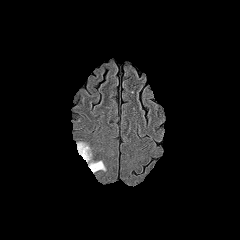
FLAIR MR image.
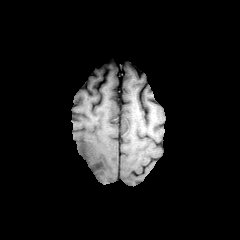
T1-weighted magnetic resonance.
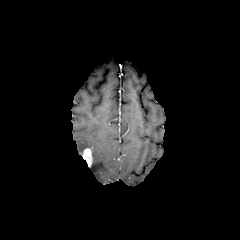
Post-contrast T1-weighted MR.
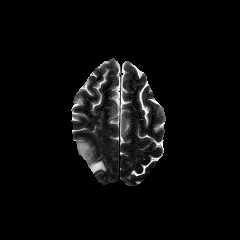
T2-weighted magnetic resonance.
Brain, 240x240 px
enhancing tumor — 82,148,92,166
peritumoral edema — 77,142,90,155; 89,160,105,172